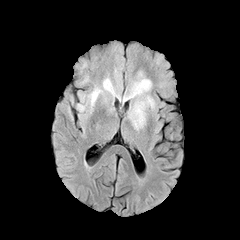
FLAIR MR.
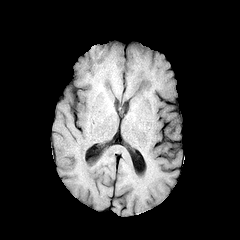
Same slice, T1-weighted MR image.
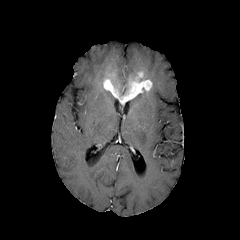
Post-contrast T1-weighted MR image.
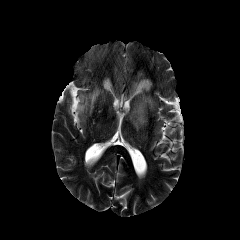
T2-weighted MR.
Brain, Axial plane
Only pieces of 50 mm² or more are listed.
* peritumoral edema: <box>87,87,110,111</box>, <box>129,91,155,129</box>
* enhancing tumor: <box>103,71,152,103</box>